Brain.
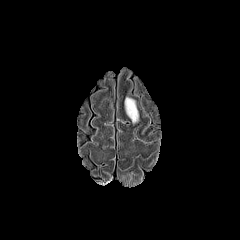
FLAIR MR image.
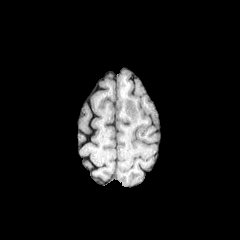
T1-weighted magnetic resonance.
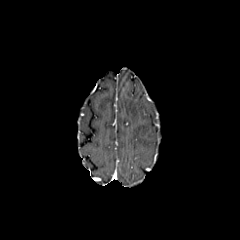
Post-contrast T1-weighted MRI.
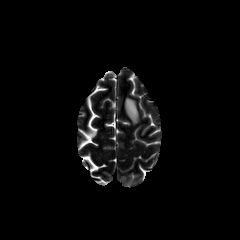
T2-weighted MRI.
• peritumoral edema: <bbox>125, 98, 138, 123</bbox>